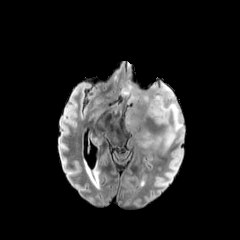
FLAIR magnetic resonance.
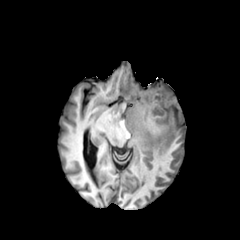
T1-weighted MR image.
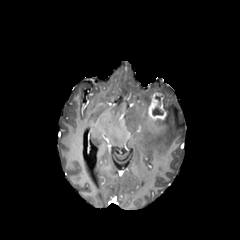
Post-contrast T1-weighted MRI.
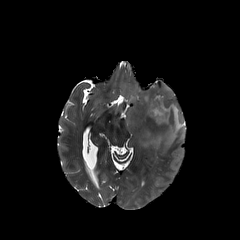
T2-weighted magnetic resonance.
240x240 px, Axial view
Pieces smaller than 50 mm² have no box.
enhancing tumor: 148, 92, 167, 121 | necrotic tumor core: 152, 107, 163, 115 | peritumoral edema: 121, 81, 184, 151